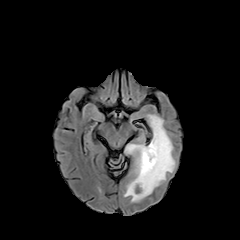
FLAIR MR.
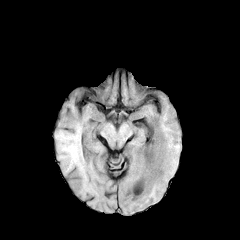
T1-weighted MR.
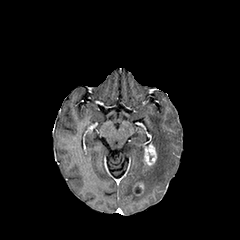
Same slice, post-contrast T1-weighted MRI.
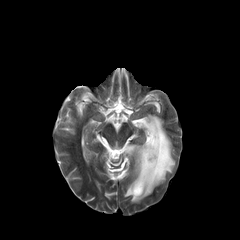
Same slice, T2-weighted MRI.
Image size 240x240, Axial view, Head
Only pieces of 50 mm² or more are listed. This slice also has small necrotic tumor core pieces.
The largest peritumoral edema region lies within left=124, top=114, right=175, bottom=202. The 2 largest enhancing tumor regions are bounded by left=143, top=143, right=157, bottom=166; left=134, top=182, right=144, bottom=193.